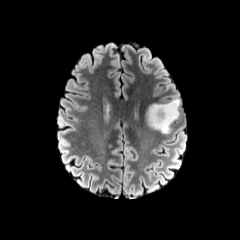
FLAIR MR image.
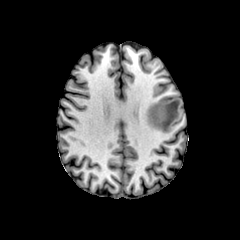
T1-weighted magnetic resonance.
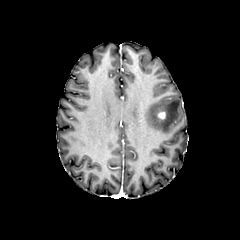
Post-contrast T1-weighted MRI of the same slice.
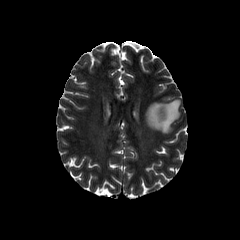
Same slice, T2-weighted magnetic resonance.
Axial view. Brain.
Findings:
• enhancing tumor: (157,110,166,119)
• peritumoral edema: (146,98,180,133)